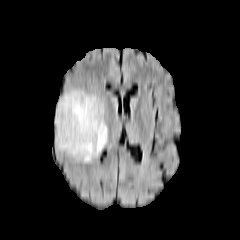
FLAIR MRI.
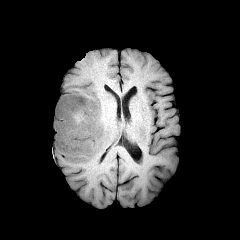
T1-weighted magnetic resonance.
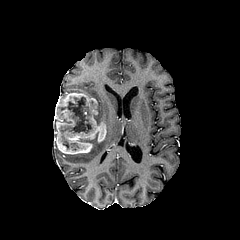
Same slice, post-contrast T1-weighted magnetic resonance.
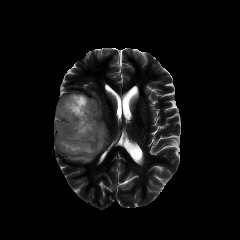
T2-weighted MR of the same slice.
Axial view. Head.
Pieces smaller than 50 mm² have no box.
{"peritumoral_edema": ["[x1=94, y1=103, x2=103, y2=124]", "[x1=66, y1=125, x2=107, y2=162]"], "necrotic_tumor_core": ["[x1=62, y1=136, x2=69, y2=148]", "[x1=60, y1=97, x2=92, y2=133]"], "enhancing_tumor": ["[x1=54, y1=93, x2=106, y2=154]"]}